FLAIR MRI.
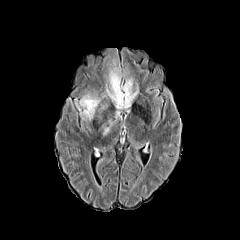
T1-weighted magnetic resonance.
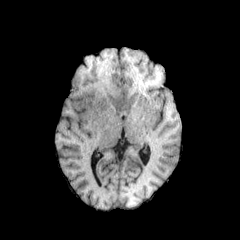
Post-contrast T1-weighted MR.
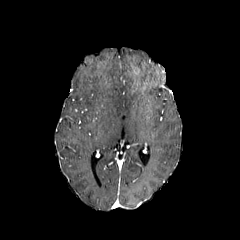
T2-weighted MR.
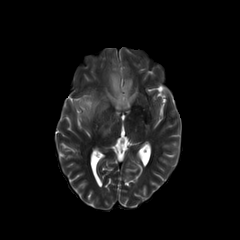
240x240 px, Axial plane
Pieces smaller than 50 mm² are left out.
<segmentation>
  <peritumoral_edema>region(106, 71, 139, 109); region(76, 95, 99, 119)</peritumoral_edema>
</segmentation>